FLAIR magnetic resonance.
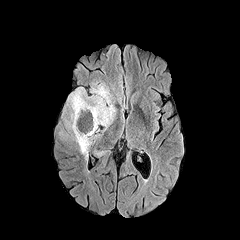
T1-weighted MR.
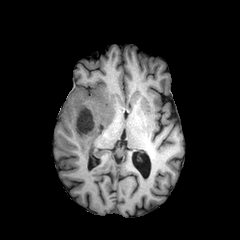
Post-contrast T1-weighted MR.
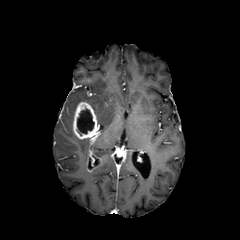
T2-weighted MR.
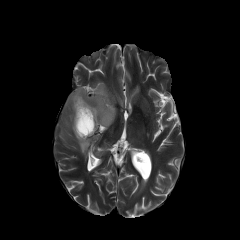
Head
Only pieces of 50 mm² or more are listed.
peritumoral edema at (73, 135, 89, 159), (65, 83, 115, 130)
necrotic tumor core at (77, 109, 94, 135)
enhancing tumor at (86, 149, 102, 171), (73, 102, 100, 143)